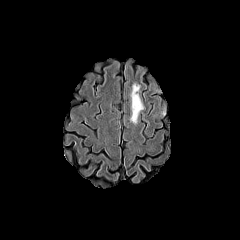
FLAIR MR image.
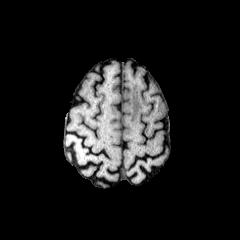
T1-weighted magnetic resonance of the same slice.
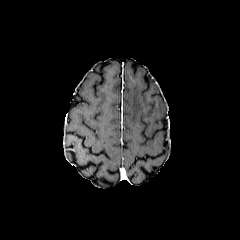
Same slice, post-contrast T1-weighted MRI.
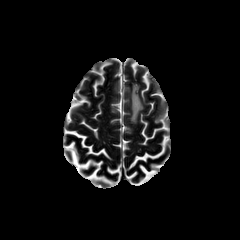
T2-weighted MR image.
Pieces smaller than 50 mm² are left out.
{
  "peritumoral_edema": [
    "[130, 83, 143, 123]"
  ]
}